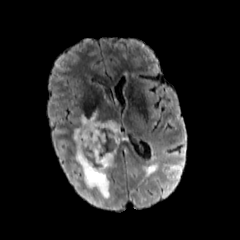
FLAIR MR image.
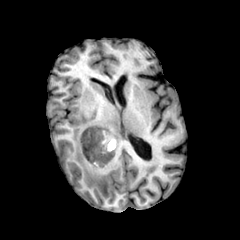
T1-weighted magnetic resonance.
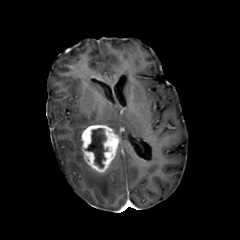
Post-contrast T1-weighted MR image of the same slice.
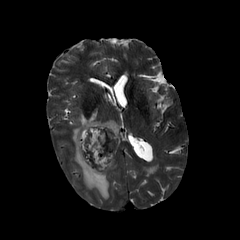
T2-weighted MR image of the same slice.
Head
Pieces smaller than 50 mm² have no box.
{
  "enhancing_tumor": [
    "[81,125,119,172]"
  ],
  "peritumoral_edema": [
    "[73,111,119,199]"
  ],
  "necrotic_tumor_core": [
    "[86,128,107,168]"
  ]
}